Slice index 108
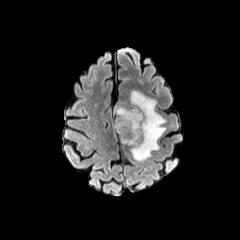
FLAIR MR.
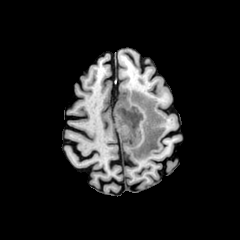
T1-weighted MRI.
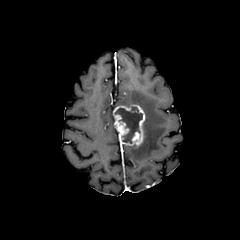
Post-contrast T1-weighted MR.
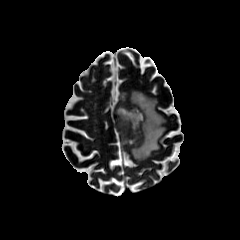
Same slice, T2-weighted MR image.
The necrotic tumor core lies within x1=115, y1=107, x2=142, y2=143. The enhancing tumor is bounded by x1=113, y1=104, x2=145, y2=146. The peritumoral edema appears at x1=130, y1=90, x2=165, y2=161.